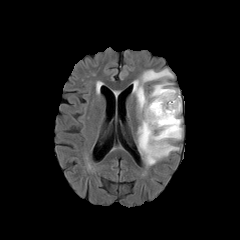
FLAIR MRI.
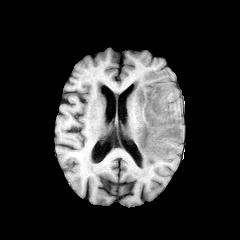
Same slice, T1-weighted magnetic resonance.
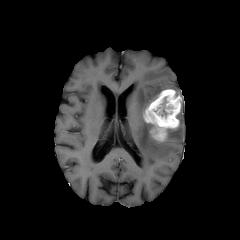
Post-contrast T1-weighted MR of the same slice.
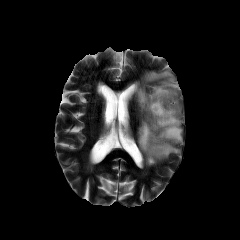
T2-weighted MR.
240x240
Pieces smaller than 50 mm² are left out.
enhancing_tumor:
  - (143, 89, 181, 141)
necrotic_tumor_core:
  - (156, 98, 173, 117)
peritumoral_edema:
  - (137, 115, 182, 165)
  - (133, 69, 181, 112)